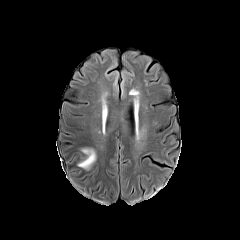
FLAIR MR.
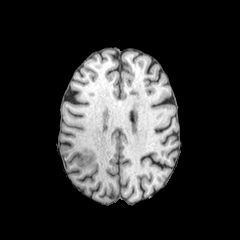
Same slice, T1-weighted MR image.
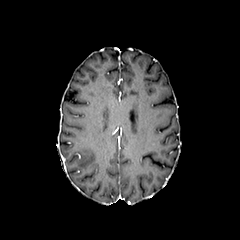
Post-contrast T1-weighted MRI.
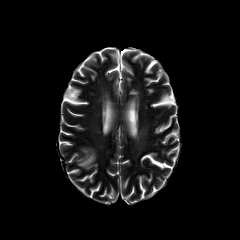
Same slice, T2-weighted magnetic resonance.
Axial view
The peritumoral edema lies within <bbox>78, 148, 96, 169</bbox>.